Axial slice.
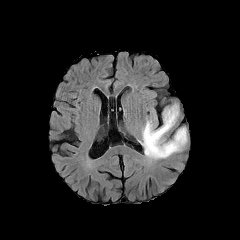
FLAIR MR.
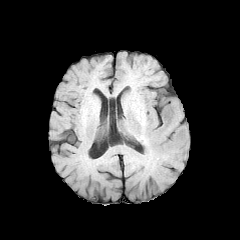
T1-weighted magnetic resonance.
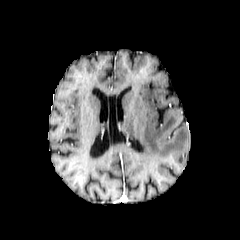
Post-contrast T1-weighted magnetic resonance.
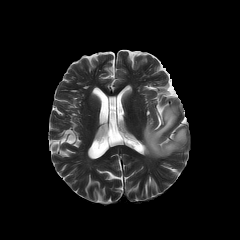
T2-weighted MR.
The peritumoral edema is located at 141, 104, 187, 158.